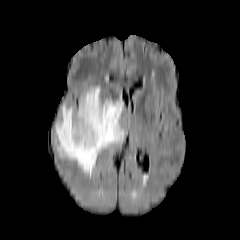
FLAIR MRI.
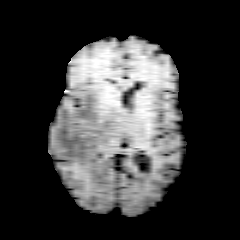
Same slice, T1-weighted MR image.
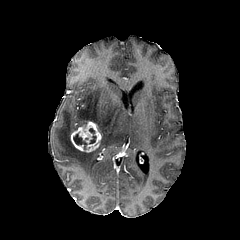
Same slice, post-contrast T1-weighted MRI.
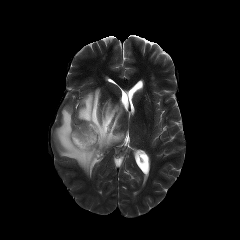
T2-weighted MR image.
240x240 px, Brain
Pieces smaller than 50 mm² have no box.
{
  "necrotic_tumor_core": [
    "box=[73, 134, 87, 149]",
    "box=[89, 128, 96, 143]"
  ],
  "peritumoral_edema": [
    "box=[55, 87, 124, 176]"
  ],
  "enhancing_tumor": [
    "box=[70, 121, 101, 152]"
  ]
}